Axial plane, Brain
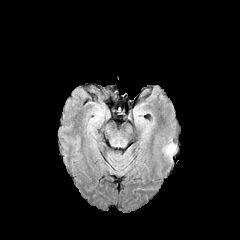
FLAIR MR.
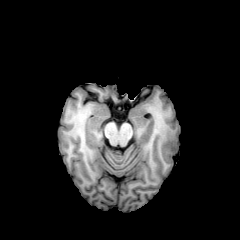
T1-weighted MRI.
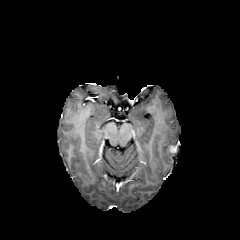
Post-contrast T1-weighted MRI of the same slice.
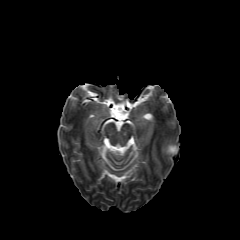
Same slice, T2-weighted MR image.
peritumoral_edema:
  - rect(165, 144, 176, 154)
enhancing_tumor:
  - rect(169, 145, 176, 153)